Slice index 83. Image width 240 mm, 1.00 mm slice spacing.
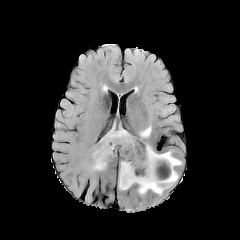
FLAIR MR.
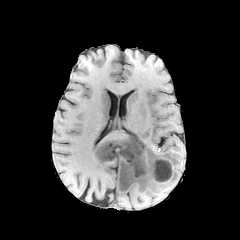
T1-weighted magnetic resonance.
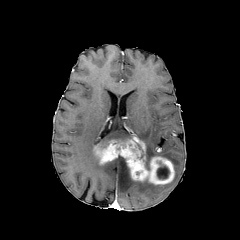
Post-contrast T1-weighted MR image of the same slice.
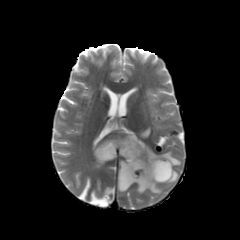
T2-weighted MR image.
necrotic tumor core — left=157, top=165, right=169, bottom=179
peritumoral edema — left=145, top=144, right=181, bottom=166; left=139, top=126, right=151, bottom=138; left=93, top=147, right=106, bottom=169; left=118, top=160, right=178, bottom=194; left=100, top=128, right=133, bottom=144
enhancing tumor — left=94, top=136, right=174, bottom=184